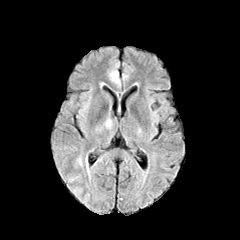
FLAIR MRI.
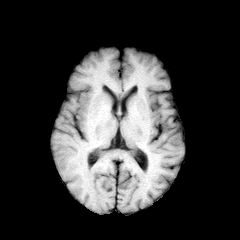
T1-weighted MR image.
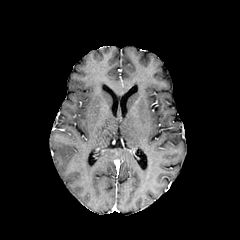
Same slice, post-contrast T1-weighted MR.
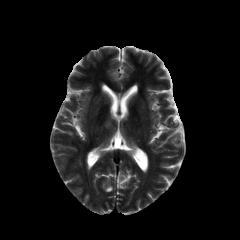
T2-weighted magnetic resonance of the same slice.
240x240 px
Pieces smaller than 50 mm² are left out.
peritumoral edema: 110 73 119 83